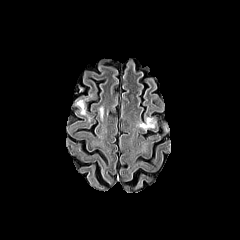
FLAIR MR image.
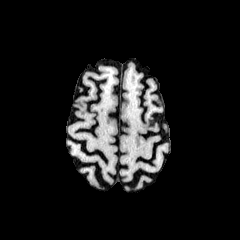
T1-weighted MRI.
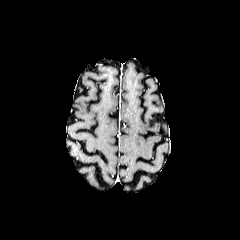
Same slice, post-contrast T1-weighted MR image.
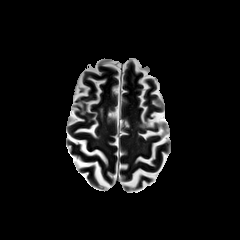
Same slice, T2-weighted MR.
Head. Axial plane.
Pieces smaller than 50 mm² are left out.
The 3 largest peritumoral edema regions are bounded by <box>139,118,156,130</box>, <box>77,99,85,114</box>, <box>99,105,103,119</box>.